FLAIR MR image.
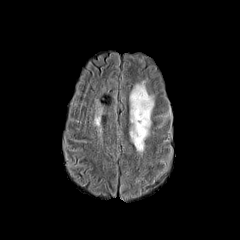
T1-weighted MRI.
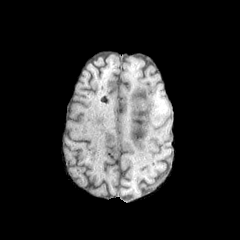
Post-contrast T1-weighted magnetic resonance.
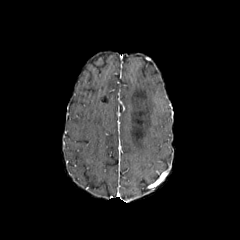
T2-weighted MR image.
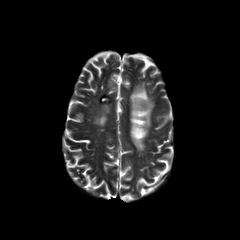
Image size 240x240, Head, Axial slice
peritumoral edema: (left=130, top=83, right=154, bottom=151)